Head; Slice index 102; Axial slice
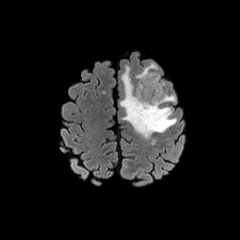
FLAIR MR image.
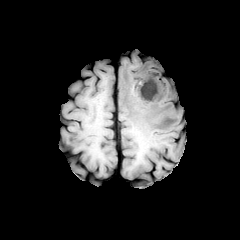
Same slice, T1-weighted MRI.
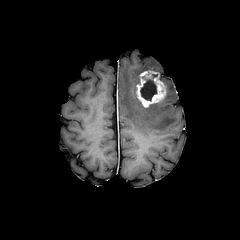
Post-contrast T1-weighted MR.
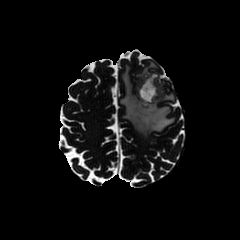
T2-weighted MR.
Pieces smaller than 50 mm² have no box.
The enhancing tumor is bounded by region(136, 71, 166, 107). The largest necrotic tumor core region is at region(140, 79, 156, 100). The largest peritumoral edema region appears at region(120, 62, 176, 138).